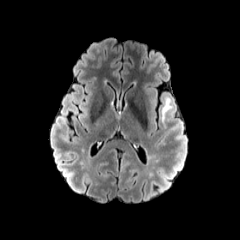
FLAIR MR image.
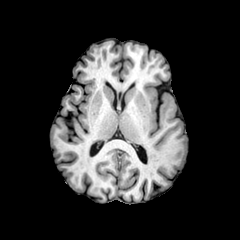
T1-weighted magnetic resonance.
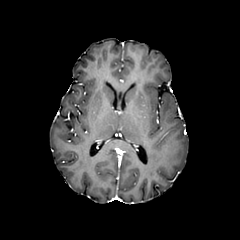
Post-contrast T1-weighted MR image of the same slice.
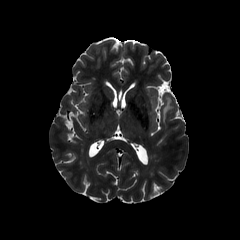
T2-weighted MR image of the same slice.
{
  "peritumoral_edema": [
    "[x1=161, y1=97, x2=170, y2=125]"
  ]
}